Image width 240 mm | Slice index 113 | Axial plane
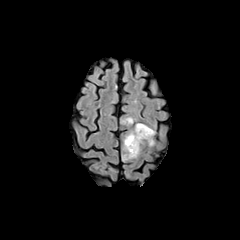
FLAIR magnetic resonance.
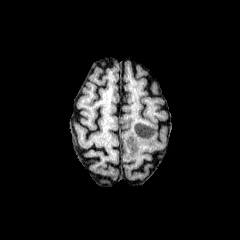
T1-weighted MRI.
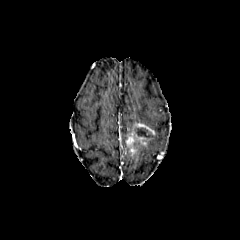
Post-contrast T1-weighted MR of the same slice.
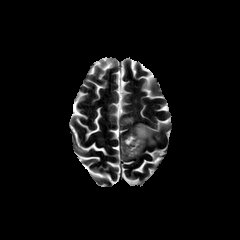
T2-weighted MR image.
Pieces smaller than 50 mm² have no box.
necrotic_tumor_core:
  - 136, 128, 152, 137
enhancing_tumor:
  - 125, 123, 155, 156
peritumoral_edema:
  - 122, 117, 134, 124
  - 123, 135, 143, 160